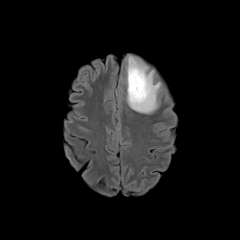
FLAIR MRI.
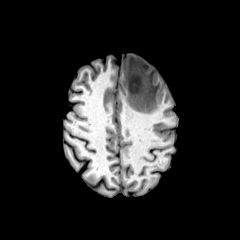
Same slice, T1-weighted MR image.
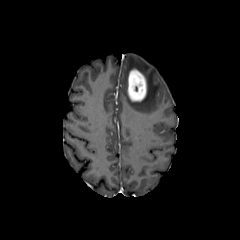
Post-contrast T1-weighted MR.
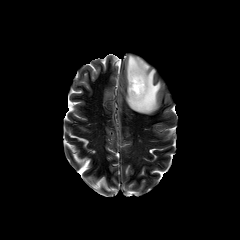
T2-weighted MR.
Head
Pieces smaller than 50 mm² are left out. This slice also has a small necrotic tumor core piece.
Findings:
* enhancing tumor: x1=127, y1=69, x2=147, y2=101
* peritumoral edema: x1=126, y1=55, x2=160, y2=113